Slice index 86.
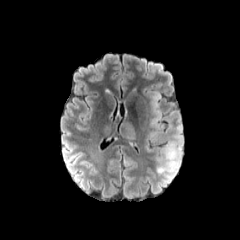
FLAIR magnetic resonance.
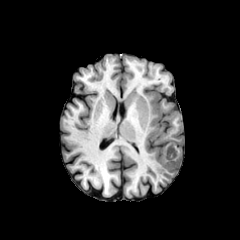
Same slice, T1-weighted MR image.
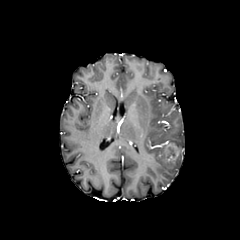
Post-contrast T1-weighted magnetic resonance of the same slice.
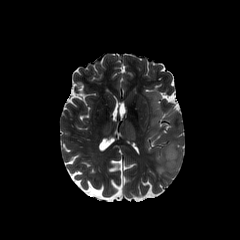
Same slice, T2-weighted MR image.
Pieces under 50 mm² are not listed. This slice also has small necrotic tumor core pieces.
peritumoral edema = region(140, 87, 183, 178)
enhancing tumor = region(164, 143, 178, 163)